FLAIR MR.
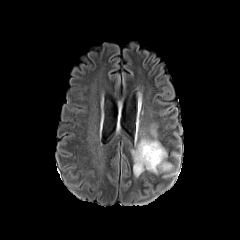
T1-weighted MR.
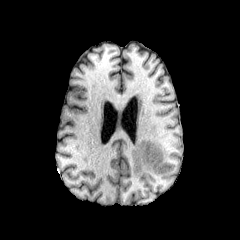
Post-contrast T1-weighted MRI.
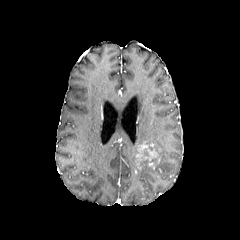
T2-weighted MR.
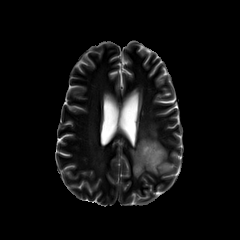
240x240; Head
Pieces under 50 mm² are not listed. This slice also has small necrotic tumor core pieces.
The largest enhancing tumor region appears at left=135, top=141, right=160, bottom=170. The largest peritumoral edema region is located at left=131, top=137, right=173, bottom=177.